Brain, 240x240 px, Slice 44 of 155
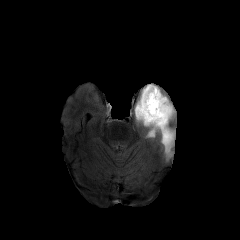
FLAIR MR image.
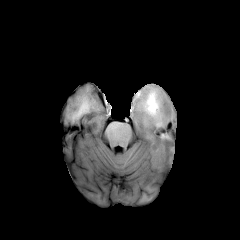
T1-weighted MR image.
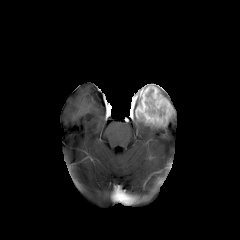
Post-contrast T1-weighted magnetic resonance of the same slice.
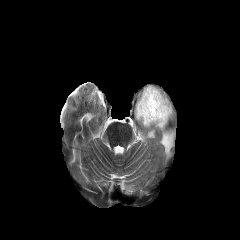
T2-weighted MRI of the same slice.
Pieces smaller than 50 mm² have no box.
The largest peritumoral edema region is at x1=135, y1=117, x2=175, y2=159. The enhancing tumor lies within x1=135, y1=84, x2=175, y2=127.